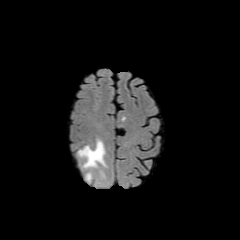
FLAIR magnetic resonance.
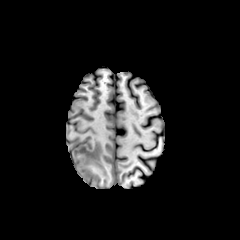
T1-weighted magnetic resonance of the same slice.
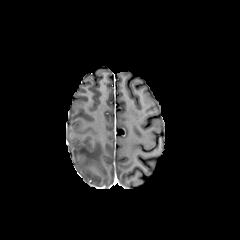
Same slice, post-contrast T1-weighted MRI.
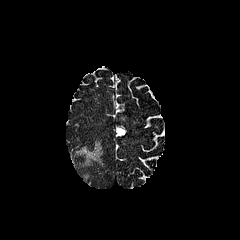
Same slice, T2-weighted MRI.
Brain | Image size 240x240
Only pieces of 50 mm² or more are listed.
{"peritumoral_edema": ["[78,140,105,168]"]}